Axial view. 240x240.
FLAIR magnetic resonance.
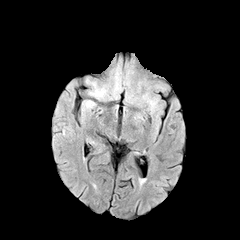
T1-weighted magnetic resonance.
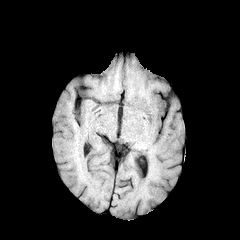
Post-contrast T1-weighted magnetic resonance.
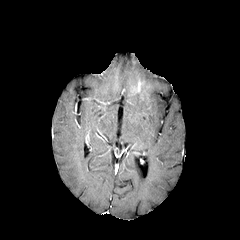
T2-weighted magnetic resonance.
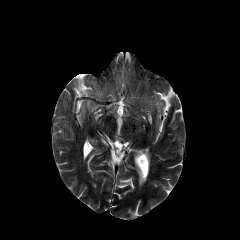
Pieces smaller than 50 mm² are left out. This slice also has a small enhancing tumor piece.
* peritumoral edema: 143, 96, 157, 109; 89, 83, 106, 97